FLAIR magnetic resonance.
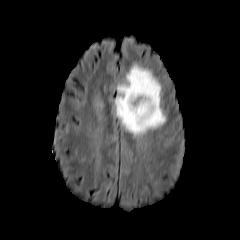
T1-weighted MR.
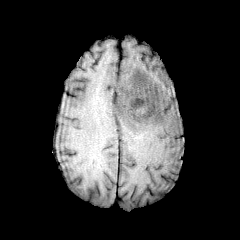
Post-contrast T1-weighted MRI.
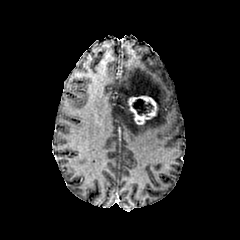
T2-weighted MR.
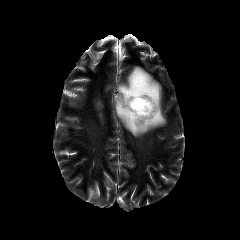
Axial slice; 240x240
peritumoral_edema:
  - bbox(115, 65, 165, 136)
enhancing_tumor:
  - bbox(128, 96, 157, 124)
necrotic_tumor_core:
  - bbox(132, 99, 152, 115)